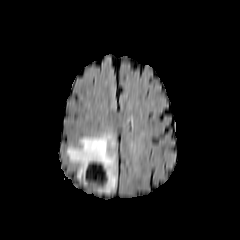
FLAIR magnetic resonance.
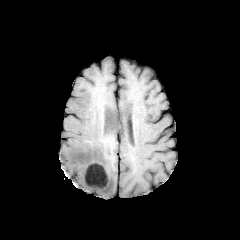
T1-weighted MRI.
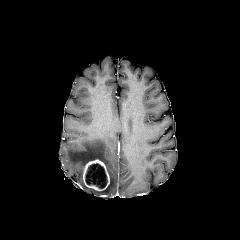
Post-contrast T1-weighted magnetic resonance.
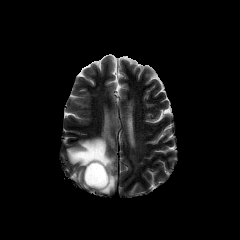
T2-weighted MR.
240x240. Brain. Axial plane.
{
  "peritumoral_edema": [
    "box=[66, 133, 117, 193]"
  ],
  "enhancing_tumor": [
    "box=[83, 159, 110, 190]"
  ],
  "necrotic_tumor_core": [
    "box=[85, 163, 107, 188]"
  ]
}